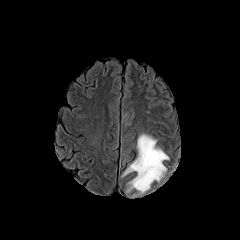
FLAIR magnetic resonance.
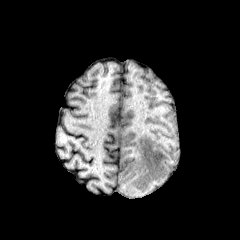
Same slice, T1-weighted MR image.
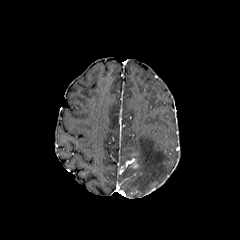
Post-contrast T1-weighted MRI of the same slice.
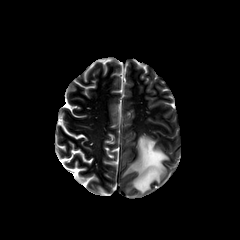
T2-weighted MRI of the same slice.
Head
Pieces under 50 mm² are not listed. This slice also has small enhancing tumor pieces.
peritumoral edema: <box>122,134,169,195</box>